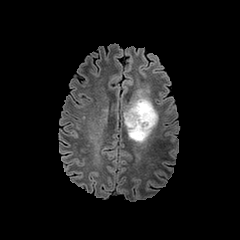
FLAIR MR.
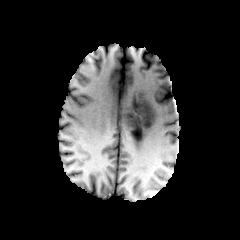
T1-weighted magnetic resonance.
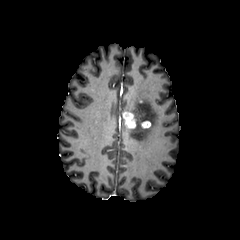
Post-contrast T1-weighted magnetic resonance.
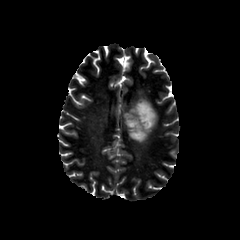
T2-weighted MR of the same slice.
240x240
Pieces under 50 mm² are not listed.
peritumoral_edema:
  - {"x1": 125, "y1": 91, "x2": 156, "y2": 141}
enhancing_tumor:
  - {"x1": 123, "y1": 112, "x2": 135, "y2": 127}
  - {"x1": 141, "y1": 121, "x2": 150, "y2": 128}